Image size 240x240, Head, Slice index 67
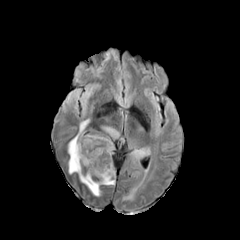
FLAIR MR image.
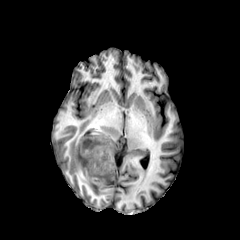
Same slice, T1-weighted MRI.
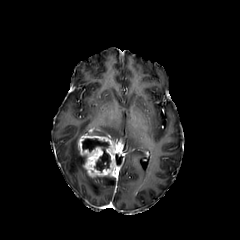
Post-contrast T1-weighted magnetic resonance.
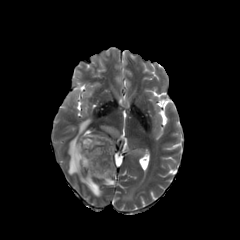
Same slice, T2-weighted MR image.
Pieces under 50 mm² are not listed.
enhancing tumor = 78 135 116 177
peritumoral edema = 68 119 114 196, 134 150 144 157, 103 126 119 138
necrotic tumor core = 82 138 110 171